Brain | Image size 240x240
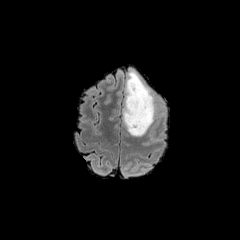
FLAIR MR.
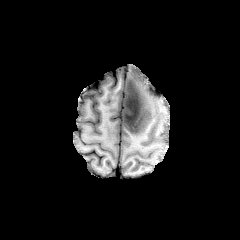
T1-weighted MR image of the same slice.
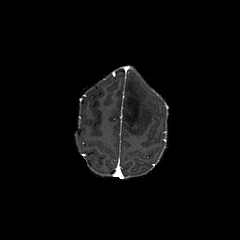
Post-contrast T1-weighted magnetic resonance of the same slice.
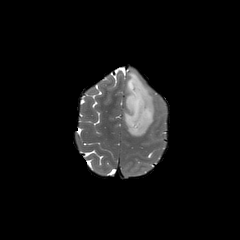
T2-weighted MR image.
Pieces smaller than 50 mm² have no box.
The largest necrotic tumor core region lies within 123, 94, 141, 133. The largest peritumoral edema region is located at 126, 70, 154, 136.